Slice 34 of 155
FLAIR magnetic resonance.
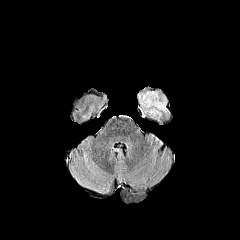
T1-weighted magnetic resonance.
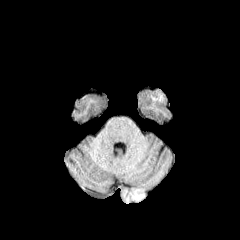
Post-contrast T1-weighted MR image.
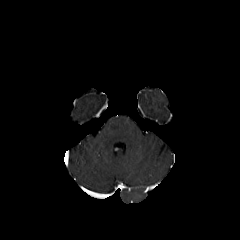
T2-weighted MRI.
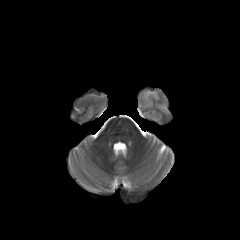
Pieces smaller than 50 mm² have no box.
peritumoral edema: l=139, t=91, r=166, b=109